Brain; 240x240 px; Image width 240 mm
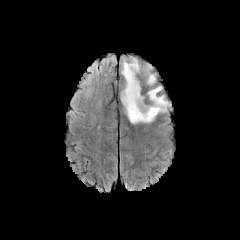
FLAIR magnetic resonance.
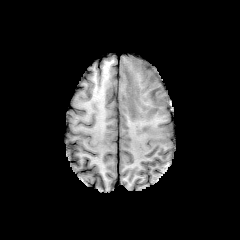
T1-weighted MR.
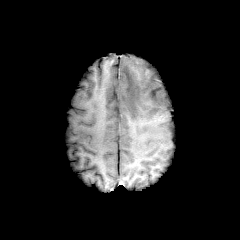
Post-contrast T1-weighted MR.
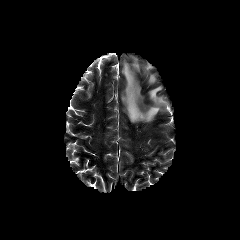
T2-weighted magnetic resonance.
peritumoral edema — 121,57,169,123; 145,64,155,84